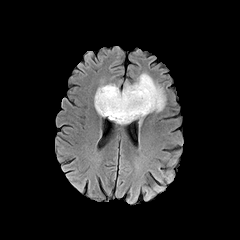
FLAIR MR image.
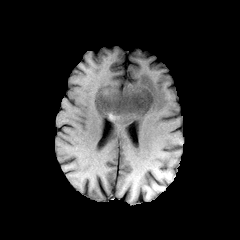
T1-weighted MRI.
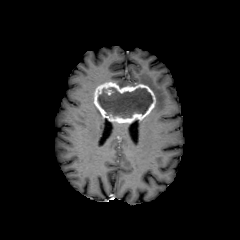
Post-contrast T1-weighted magnetic resonance.
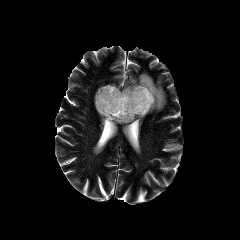
Same slice, T2-weighted magnetic resonance.
Brain, Image size 240x240
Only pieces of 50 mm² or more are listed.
<segmentation>
  <necrotic_tumor_core>x1=98, y1=87, x2=152, y2=117</necrotic_tumor_core>
  <peritumoral_edema>x1=124, y1=73, x2=165, y2=112</peritumoral_edema>
  <enhancing_tumor>x1=94, y1=82, x2=155, y2=124</enhancing_tumor>
</segmentation>